FLAIR MR image.
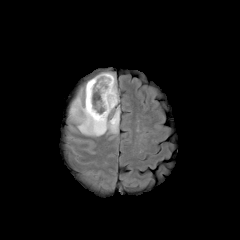
T1-weighted magnetic resonance.
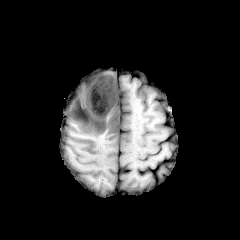
Post-contrast T1-weighted MRI.
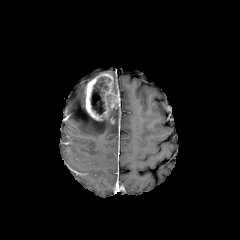
T2-weighted magnetic resonance.
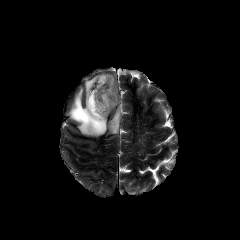
Image size 240x240 | Brain
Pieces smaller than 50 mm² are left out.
The peritumoral edema is at 66, 70, 119, 136. The largest enhancing tumor region is at 85, 73, 120, 120. The necrotic tumor core is at 91, 90, 105, 114.